Head; Slice 54 of 155; Axial view
FLAIR magnetic resonance.
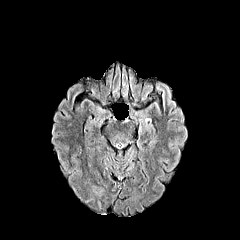
T1-weighted MR image.
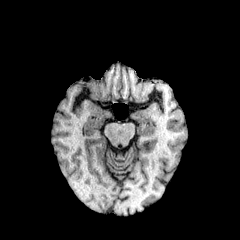
Post-contrast T1-weighted MRI.
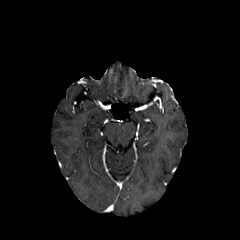
T2-weighted MRI.
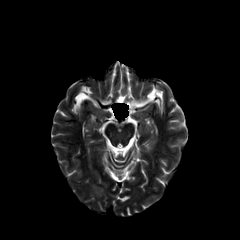
The peritumoral edema appears at 91,184,104,194.